FLAIR MRI.
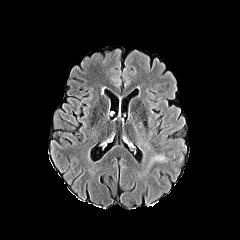
T1-weighted MR.
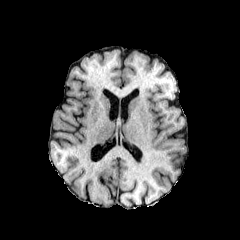
Post-contrast T1-weighted MRI.
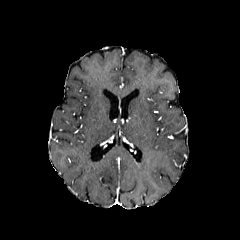
T2-weighted MRI.
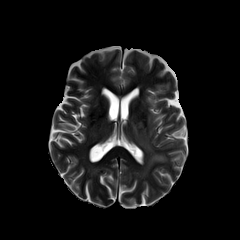
Head, Axial plane
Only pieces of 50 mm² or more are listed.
peritumoral edema: bounding box (left=133, top=121, right=142, bottom=132), (left=148, top=155, right=165, bottom=167)